FLAIR MR.
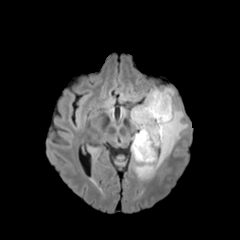
T1-weighted MR image.
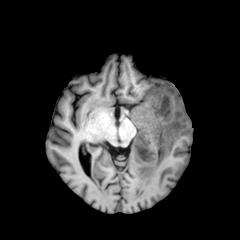
Post-contrast T1-weighted MRI.
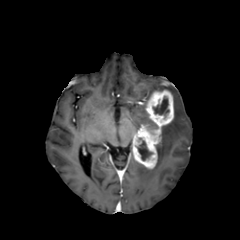
T2-weighted MRI.
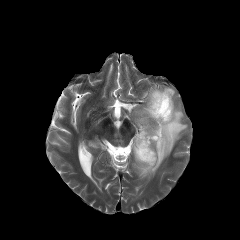
Brain, Axial view
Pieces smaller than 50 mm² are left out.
2 peritumoral edema regions appear at (134,99,187,178), (131,87,174,128). The 2 largest necrotic tumor core regions are bounded by (137,140,152,160), (153,97,168,114). The enhancing tumor is located at (132,89,173,168).